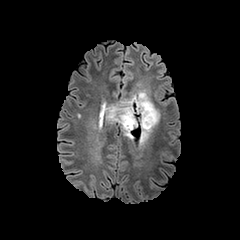
FLAIR MR image.
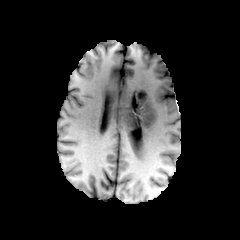
T1-weighted MR.
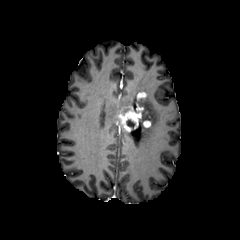
Post-contrast T1-weighted magnetic resonance.
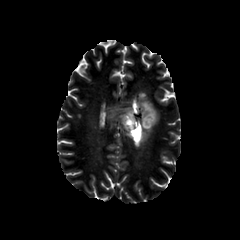
T2-weighted MRI.
Brain.
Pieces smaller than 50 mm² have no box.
enhancing_tumor:
  - box(117, 103, 143, 129)
  - box(137, 92, 145, 99)
peritumoral_edema:
  - box(106, 94, 136, 138)
  - box(137, 97, 157, 140)
necrotic_tumor_core:
  - box(125, 119, 134, 127)